240x240 px | Head | Image covers 240 mm x 240 mm | Axial slice | Slice index 88
FLAIR MR.
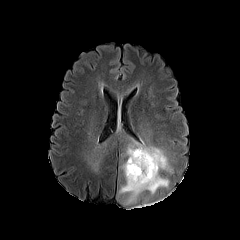
T1-weighted MR.
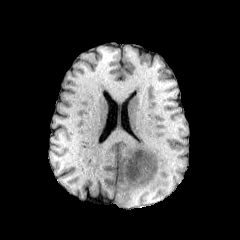
Post-contrast T1-weighted magnetic resonance.
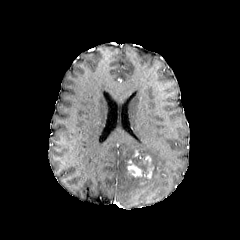
T2-weighted MRI.
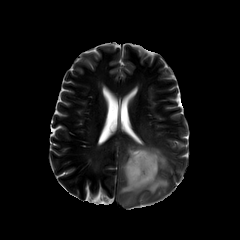
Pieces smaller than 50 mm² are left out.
necrotic tumor core = left=128, top=174, right=149, bottom=181; left=130, top=150, right=148, bottom=175
enhancing tumor = left=127, top=155, right=153, bottom=178
peritumoral edema = left=119, top=141, right=171, bottom=205